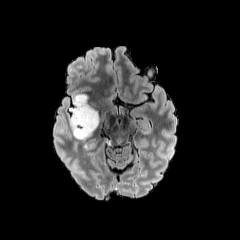
FLAIR MRI.
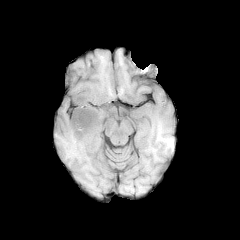
T1-weighted magnetic resonance of the same slice.
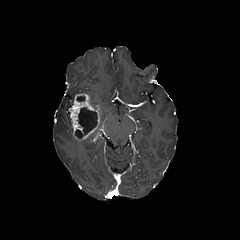
Post-contrast T1-weighted MRI of the same slice.
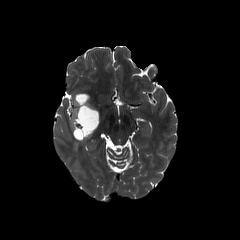
Same slice, T2-weighted magnetic resonance.
Head | Axial view | Image size 240x240
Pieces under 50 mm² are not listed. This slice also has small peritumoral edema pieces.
Findings:
• enhancing tumor: x1=70 y1=93 x2=99 y2=140
• necrotic tumor core: x1=75 y1=107 x2=97 y2=138